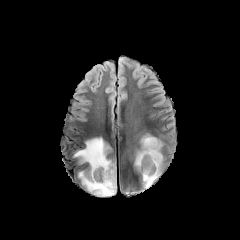
FLAIR MR.
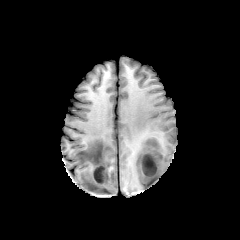
T1-weighted MR of the same slice.
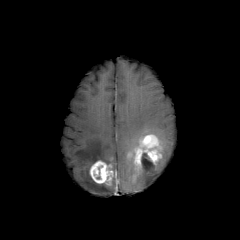
Post-contrast T1-weighted MRI.
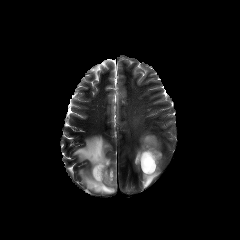
T2-weighted magnetic resonance of the same slice.
240x240. Axial slice.
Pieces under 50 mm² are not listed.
The largest necrotic tumor core region lies within <bbox>141, 153, 154, 171</bbox>. 2 enhancing tumor regions are located at <bbox>135, 135, 161, 174</bbox>, <bbox>90, 160, 113, 184</bbox>. The 2 largest peritumoral edema regions are bounded by <bbox>134, 154, 163, 188</bbox>, <bbox>74, 137, 116, 196</bbox>.